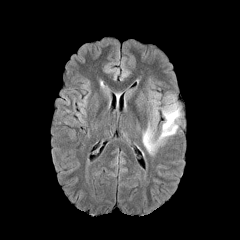
FLAIR MR.
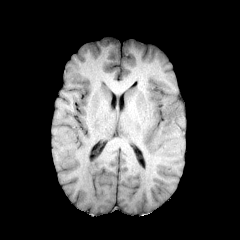
T1-weighted MRI.
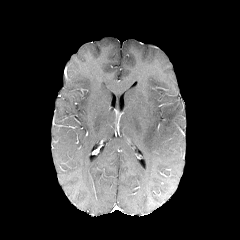
Same slice, post-contrast T1-weighted MR image.
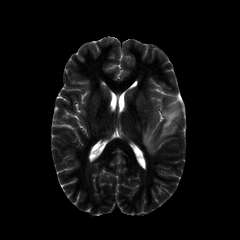
T2-weighted MR image of the same slice.
240x240 px; Axial plane; Brain
The peritumoral edema is located at <box>143,97,180,154</box>.